Slice 56 of 155, Axial plane, Brain
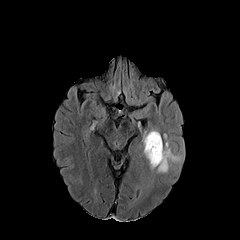
FLAIR MR.
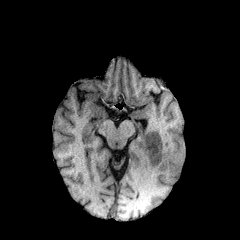
Same slice, T1-weighted magnetic resonance.
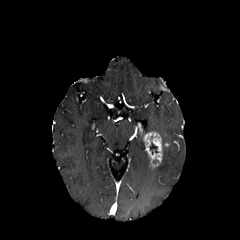
Post-contrast T1-weighted MRI.
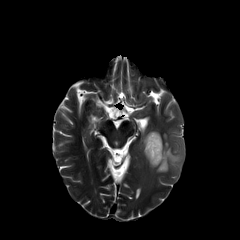
T2-weighted magnetic resonance of the same slice.
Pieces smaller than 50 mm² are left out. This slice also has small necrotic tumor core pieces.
enhancing tumor: <box>143,131,162,168</box> | peritumoral edema: <box>156,146,182,172</box>